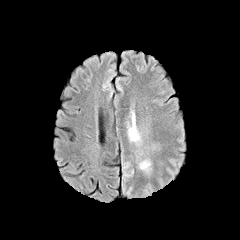
FLAIR MR image.
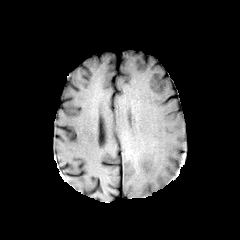
T1-weighted MR image of the same slice.
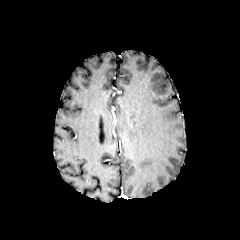
Same slice, post-contrast T1-weighted magnetic resonance.
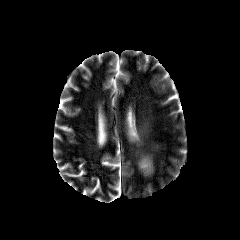
T2-weighted MRI.
Brain.
Segmented structures:
• peritumoral edema: (left=139, top=159, right=150, bottom=172), (left=128, top=126, right=139, bottom=141)